Slice 109/155 | Brain | Axial view
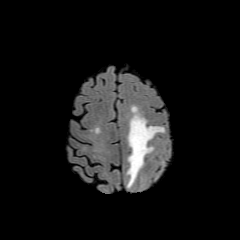
FLAIR magnetic resonance.
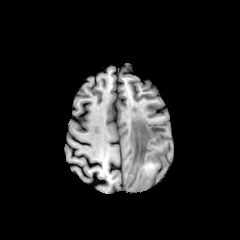
T1-weighted magnetic resonance.
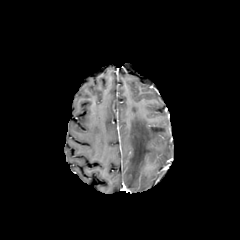
Same slice, post-contrast T1-weighted MR.
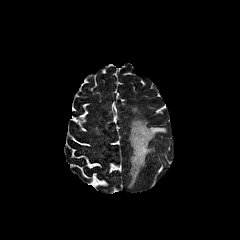
T2-weighted MR of the same slice.
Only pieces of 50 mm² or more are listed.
{"peritumoral_edema": ["127:114:164:187"]}